Brain
FLAIR MR image.
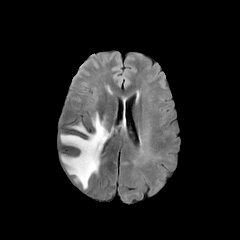
T1-weighted MR.
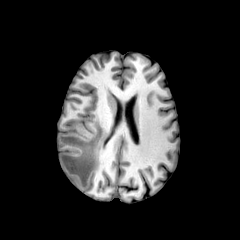
Post-contrast T1-weighted MR.
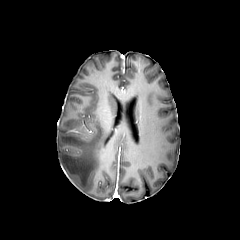
T2-weighted magnetic resonance.
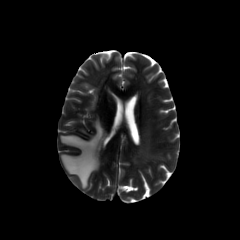
peritumoral edema at [60, 115, 109, 188]